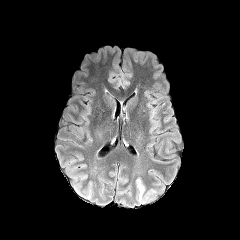
FLAIR MRI.
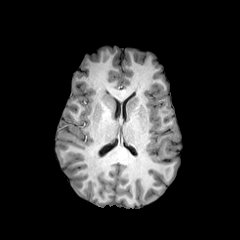
T1-weighted MR.
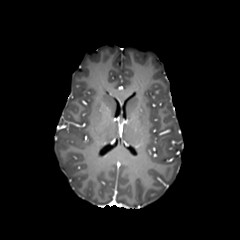
Post-contrast T1-weighted MRI of the same slice.
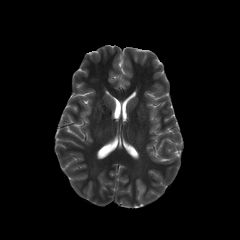
T2-weighted MR of the same slice.
Brain.
peritumoral edema: l=137, t=177, r=145, b=206